Axial slice | Head | Slice 66/155
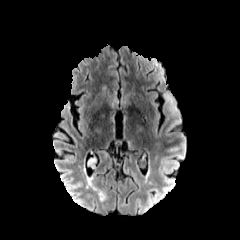
FLAIR MRI.
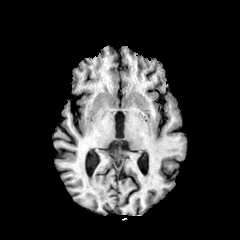
T1-weighted MRI of the same slice.
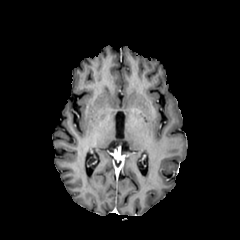
Same slice, post-contrast T1-weighted MR.
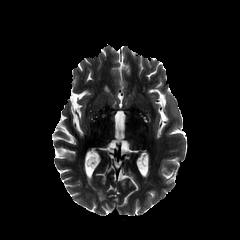
T2-weighted MR image.
peritumoral edema at box(164, 92, 176, 111)